Image width 240 mm. Brain.
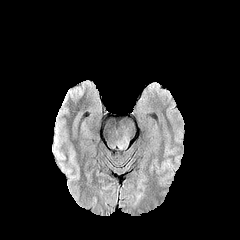
FLAIR MRI.
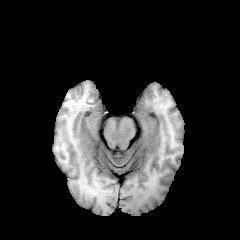
T1-weighted MRI.
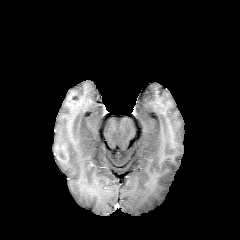
Post-contrast T1-weighted MRI.
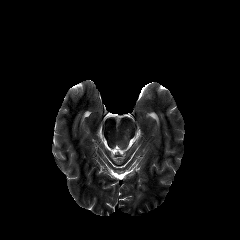
Same slice, T2-weighted MRI.
peritumoral edema: bounding box 118 130 129 148